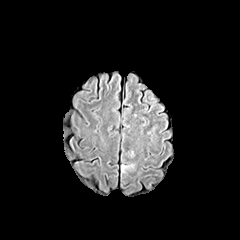
FLAIR magnetic resonance.
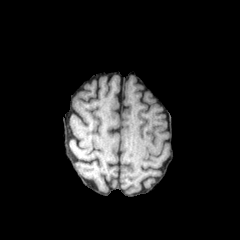
T1-weighted magnetic resonance.
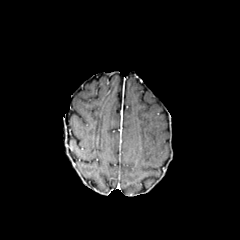
Same slice, post-contrast T1-weighted magnetic resonance.
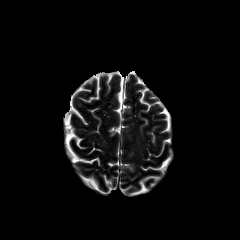
T2-weighted MR.
Axial view.
peritumoral_edema:
  - bbox=[121, 164, 133, 172]